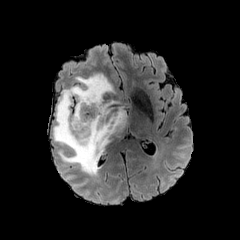
FLAIR magnetic resonance.
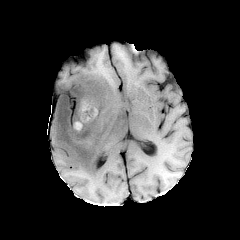
Same slice, T1-weighted MR image.
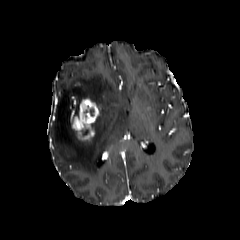
Post-contrast T1-weighted MRI of the same slice.
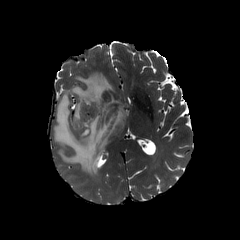
T2-weighted MR.
Brain
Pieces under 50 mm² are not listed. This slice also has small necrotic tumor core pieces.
peritumoral edema: x1=53, y1=73, x2=127, y2=176
enhancing tumor: x1=72, y1=98, x2=100, y2=142